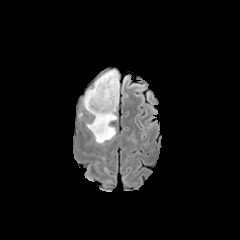
FLAIR MR.
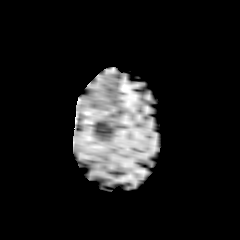
T1-weighted MR.
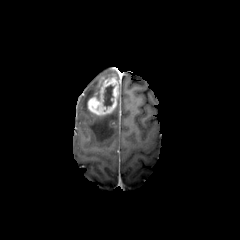
Post-contrast T1-weighted MR image.
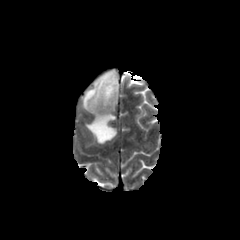
T2-weighted magnetic resonance.
Head
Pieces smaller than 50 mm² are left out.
Annotated regions:
- peritumoral edema: (87, 112, 116, 143), (84, 70, 116, 111)
- enhancing tumor: (88, 75, 118, 115)
- necrotic tumor core: (103, 85, 113, 106)